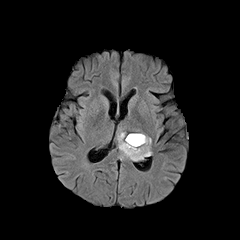
FLAIR MRI.
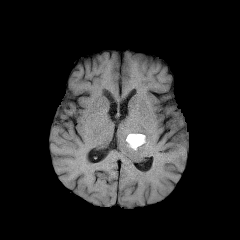
T1-weighted magnetic resonance of the same slice.
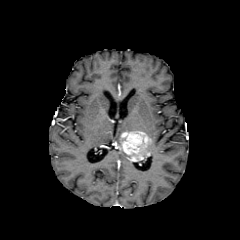
Post-contrast T1-weighted MR image.
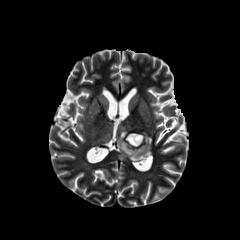
T2-weighted MR image.
Axial slice.
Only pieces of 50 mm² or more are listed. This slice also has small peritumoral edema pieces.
The enhancing tumor is bounded by (x1=118, y1=132, x2=151, y2=161).